FLAIR MRI.
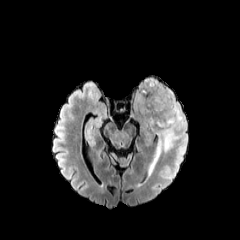
T1-weighted MR.
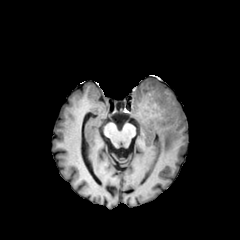
Post-contrast T1-weighted MR.
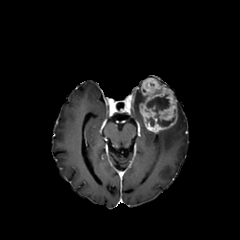
T2-weighted MR image.
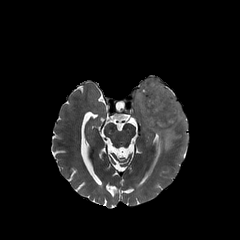
Head
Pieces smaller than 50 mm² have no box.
The largest necrotic tumor core region appears at [146, 95, 174, 126]. The enhancing tumor is at [139, 78, 177, 133]. The 2 largest peritumoral edema regions are located at [155, 102, 186, 160], [135, 87, 146, 108].